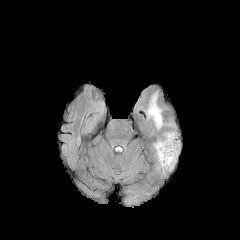
FLAIR MRI.
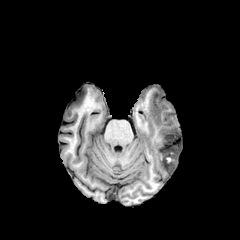
Same slice, T1-weighted MRI.
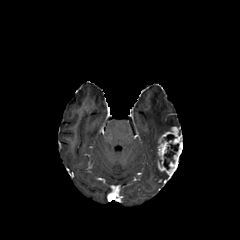
Post-contrast T1-weighted MRI.
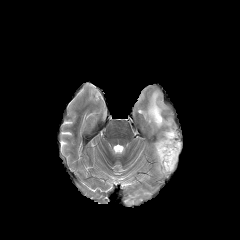
T2-weighted MR image.
Axial plane, Brain
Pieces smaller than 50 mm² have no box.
enhancing tumor — 157,127,182,174
necrotic tumor core — 164,134,175,141; 163,143,178,169
peritumoral edema — 147,94,163,128